Brain
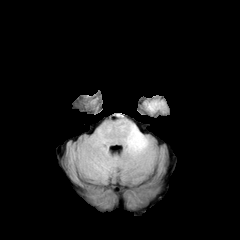
FLAIR magnetic resonance.
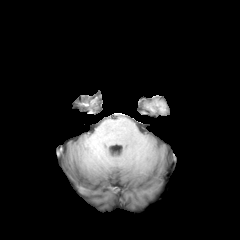
T1-weighted MRI.
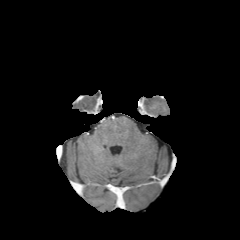
Post-contrast T1-weighted MR of the same slice.
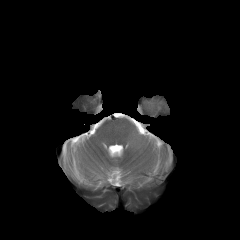
T2-weighted MR image of the same slice.
The peritumoral edema appears at left=148, top=103, right=157, bottom=110.